FLAIR MR image.
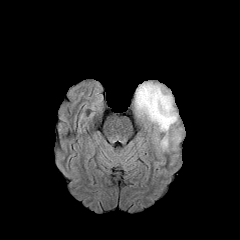
T1-weighted MR.
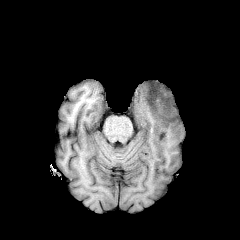
Post-contrast T1-weighted MRI.
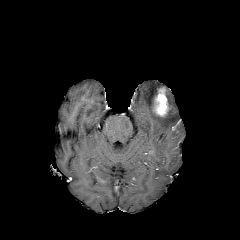
T2-weighted MRI.
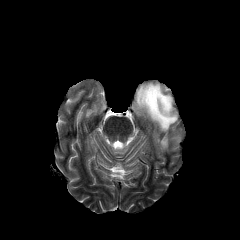
Head; Image size 240x240
* enhancing tumor: region(152, 87, 170, 116)
* peritumoral edema: region(171, 130, 180, 142); region(135, 82, 177, 150)